Axial slice, Image width 240 mm, 240x240
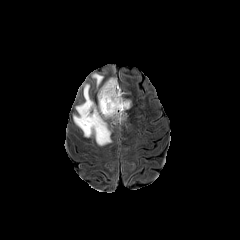
FLAIR MR.
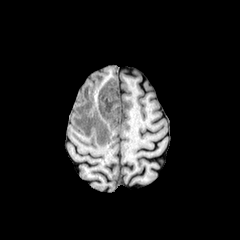
Same slice, T1-weighted magnetic resonance.
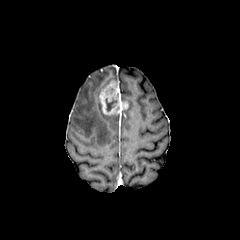
Post-contrast T1-weighted MR image.
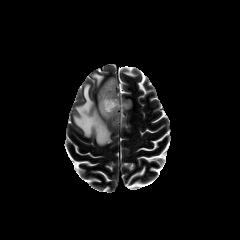
Same slice, T2-weighted MRI.
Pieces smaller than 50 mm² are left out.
Segmented structures:
• enhancing tumor: x1=99 y1=80 x2=128 y2=115
• peritumoral edema: x1=92 y1=73 x2=103 y2=86, x1=73 y1=78 x2=118 y2=145
• necrotic tumor core: x1=105 y1=98 x2=117 y2=111